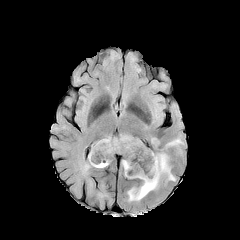
FLAIR MRI.
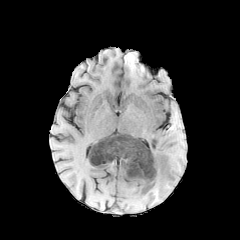
T1-weighted MRI.
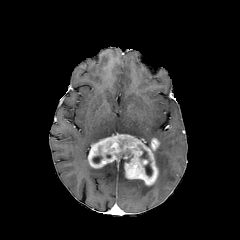
Post-contrast T1-weighted MRI.
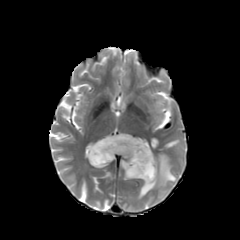
T2-weighted MRI.
Axial view
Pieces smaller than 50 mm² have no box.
{"enhancing_tumor": ["[88,134,159,185]"], "necrotic_tumor_core": ["[93,155,102,163]", "[144,161,152,176]"], "peritumoral_edema": ["[128,153,176,200]", "[166,139,180,146]"]}